Axial plane | Head
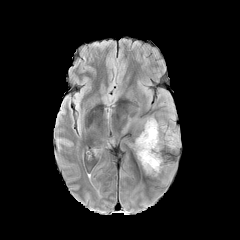
FLAIR MRI.
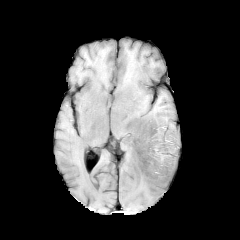
Same slice, T1-weighted MR.
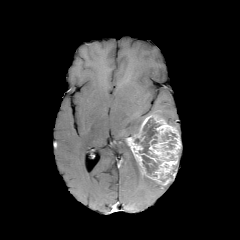
Same slice, post-contrast T1-weighted MR image.
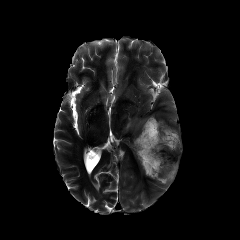
Same slice, T2-weighted magnetic resonance.
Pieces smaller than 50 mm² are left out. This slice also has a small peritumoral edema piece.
The 3 largest necrotic tumor core regions are located at 162 132 176 140, 142 155 157 175, 134 118 160 154. The largest enhancing tumor region appears at 127 115 180 185.